Head
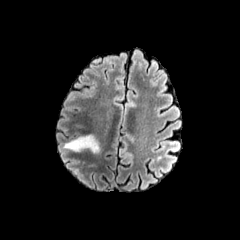
FLAIR MRI.
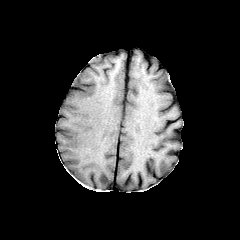
T1-weighted MR image of the same slice.
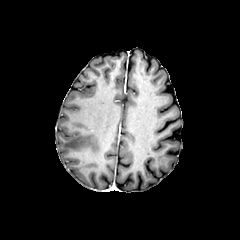
Post-contrast T1-weighted MR of the same slice.
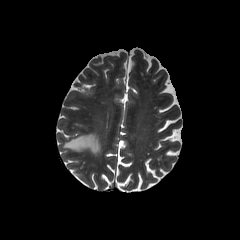
Same slice, T2-weighted MR image.
peritumoral edema — (63,135,100,153)